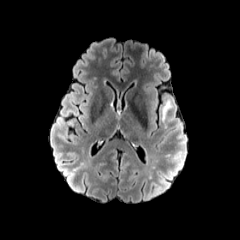
FLAIR MRI.
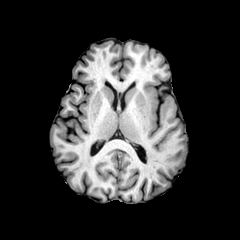
T1-weighted magnetic resonance.
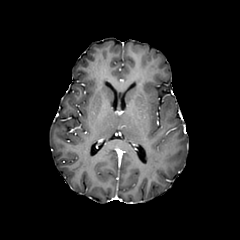
Post-contrast T1-weighted magnetic resonance.
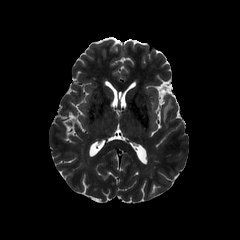
Same slice, T2-weighted MRI.
Axial plane, 240x240
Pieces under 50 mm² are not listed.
peritumoral edema — box=[161, 100, 169, 124]